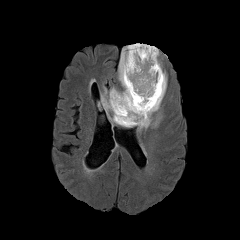
FLAIR MR.
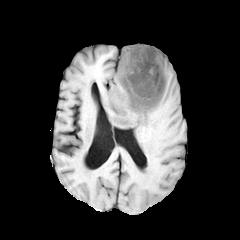
Same slice, T1-weighted magnetic resonance.
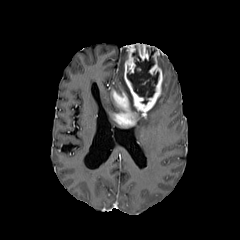
Post-contrast T1-weighted MR.
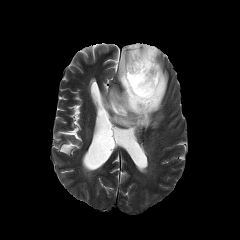
Same slice, T2-weighted MR.
Axial plane | 240x240
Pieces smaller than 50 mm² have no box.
{
  "necrotic_tumor_core": [
    "127:46:158:104"
  ],
  "peritumoral_edema": [
    "101:87:121:122",
    "118:47:127:91",
    "135:59:167:131"
  ],
  "enhancing_tumor": [
    "111:43:163:127"
  ]
}